FLAIR MR image.
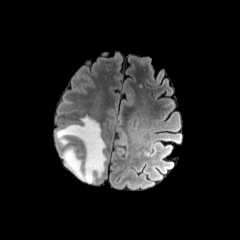
T1-weighted MRI.
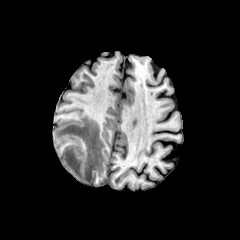
Post-contrast T1-weighted MRI.
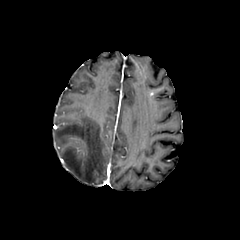
T2-weighted MRI.
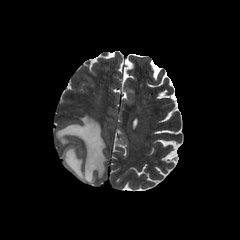
Axial view | 240x240 px | Brain
Annotated regions:
• peritumoral edema: bbox=[56, 116, 106, 183]